FLAIR MRI.
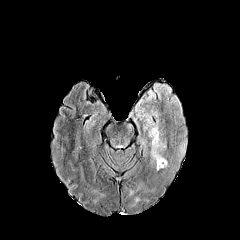
T1-weighted MR image.
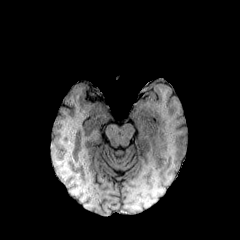
Post-contrast T1-weighted MR image.
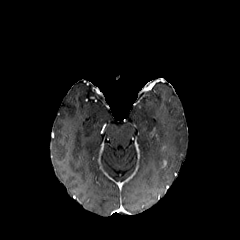
T2-weighted magnetic resonance.
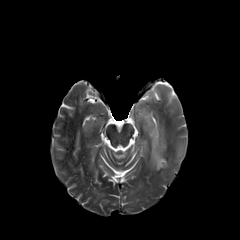
240x240 px, Axial view, Head
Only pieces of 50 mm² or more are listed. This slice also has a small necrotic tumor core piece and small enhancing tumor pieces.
{"peritumoral_edema": ["l=136, t=101, r=167, b=170"]}